Slice index 114. Image size 240x240.
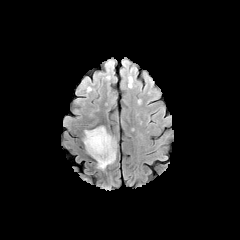
FLAIR magnetic resonance.
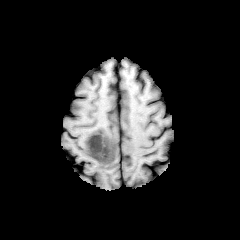
T1-weighted MR.
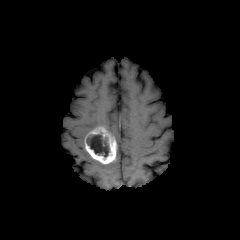
Post-contrast T1-weighted MRI.
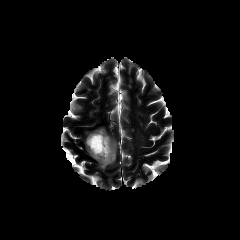
T2-weighted MRI.
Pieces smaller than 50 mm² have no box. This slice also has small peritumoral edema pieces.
necrotic_tumor_core:
  - [x1=86, y1=134, x2=108, y2=157]
enhancing_tumor:
  - [x1=84, y1=126, x2=116, y2=164]